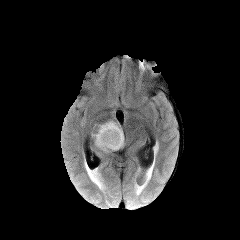
FLAIR MR image.
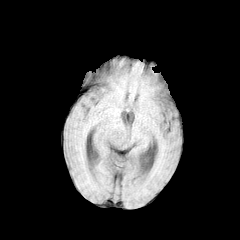
Same slice, T1-weighted MR.
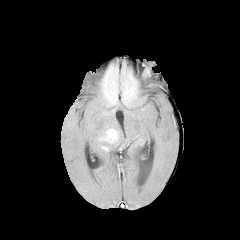
Post-contrast T1-weighted magnetic resonance.
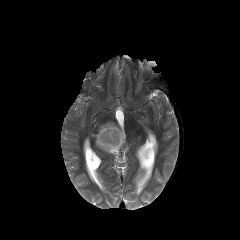
T2-weighted MRI.
Brain. Axial view.
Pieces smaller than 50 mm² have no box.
The largest enhancing tumor region lies within (left=99, top=129, right=118, bottom=143). The peritumoral edema is at (left=92, top=121, right=124, bottom=152).